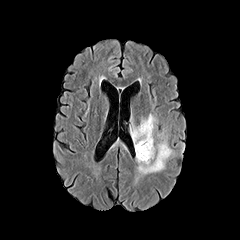
FLAIR MR.
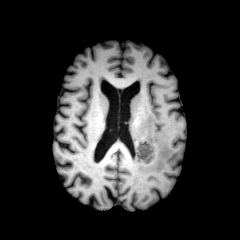
Same slice, T1-weighted MR image.
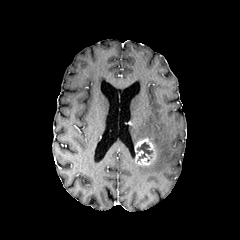
Post-contrast T1-weighted MR.
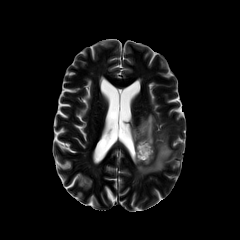
Same slice, T2-weighted MR image.
Axial plane, Brain
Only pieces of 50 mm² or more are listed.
Annotated regions:
• enhancing tumor: [135,137,155,165]
• peritumoral edema: [130,113,158,144], [133,133,175,184]
• necrotic tumor core: [137,142,152,160]